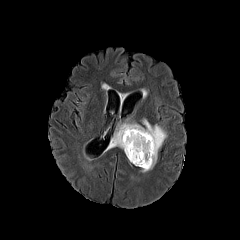
FLAIR MR image.
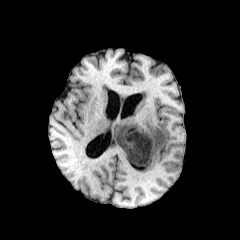
T1-weighted magnetic resonance of the same slice.
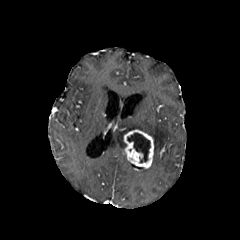
Same slice, post-contrast T1-weighted MR.
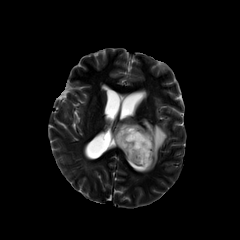
T2-weighted MR image.
Head | Axial view
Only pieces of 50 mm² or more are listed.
enhancing tumor: rect(123, 129, 154, 168) | necrotic tumor core: rect(127, 133, 150, 162) | peritumoral edema: rect(109, 119, 166, 172)